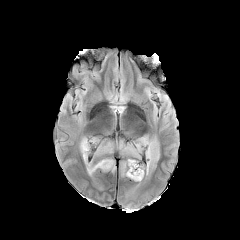
FLAIR MR image.
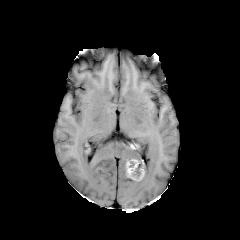
Same slice, T1-weighted MRI.
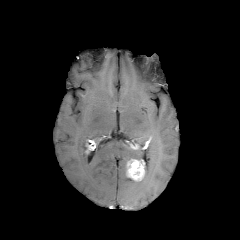
Post-contrast T1-weighted magnetic resonance.
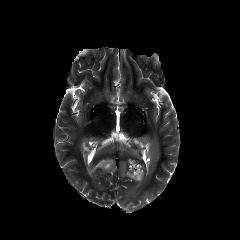
T2-weighted MRI.
Head
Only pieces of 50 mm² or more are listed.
The 4 largest peritumoral edema regions appear at 119:136:148:158, 121:162:126:176, 80:138:115:175, 145:139:159:175. The largest enhancing tumor region is at 126:159:144:181.